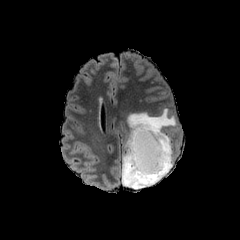
FLAIR MRI.
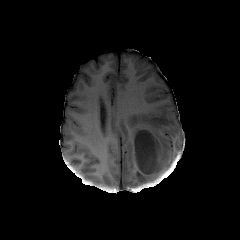
T1-weighted MR of the same slice.
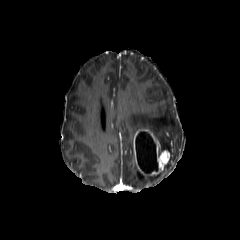
Post-contrast T1-weighted MRI.
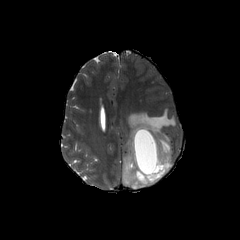
Same slice, T2-weighted magnetic resonance.
Axial slice, Head
enhancing_tumor:
  - bbox=[133, 128, 170, 176]
necrotic_tumor_core:
  - bbox=[135, 131, 158, 174]
peritumoral_edema:
  - bbox=[122, 108, 177, 188]